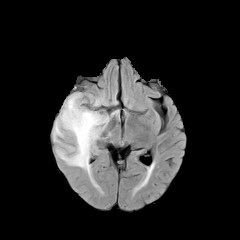
FLAIR MR image.
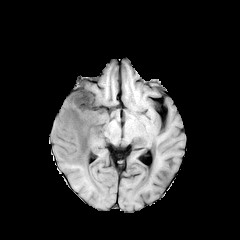
T1-weighted MR of the same slice.
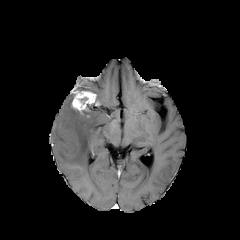
Same slice, post-contrast T1-weighted MR image.
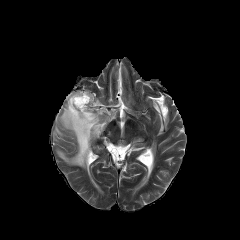
T2-weighted MR.
Head
peritumoral edema: <box>97,94,105,104</box>, <box>53,94,109,178</box>
enhancing tumor: <box>71,91,100,114</box>